FLAIR magnetic resonance.
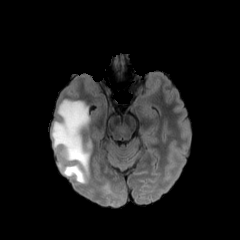
T1-weighted MRI.
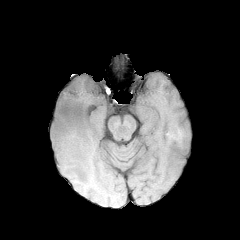
Post-contrast T1-weighted MR image.
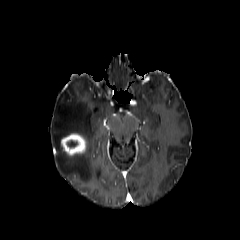
T2-weighted MR image.
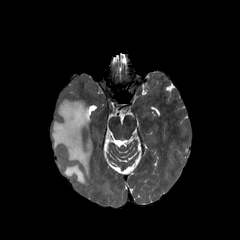
Brain
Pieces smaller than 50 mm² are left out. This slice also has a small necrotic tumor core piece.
The enhancing tumor is at <bbox>60, 133, 87, 156</bbox>. The peritumoral edema is located at <bbox>51, 99, 92, 183</bbox>.